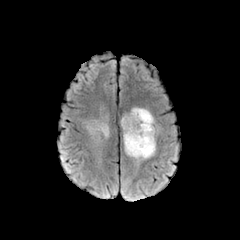
FLAIR MRI.
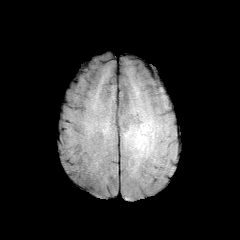
Same slice, T1-weighted MR.
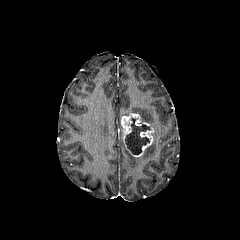
Post-contrast T1-weighted MR of the same slice.
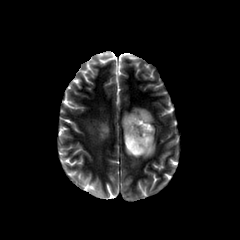
T2-weighted MRI.
Brain.
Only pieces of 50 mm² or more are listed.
<segmentation>
  <peritumoral_edema>x1=98, y1=123, x2=109, y2=136; x1=130, y1=107, x2=155, y2=158</peritumoral_edema>
  <necrotic_tumor_core>x1=125, y1=118, x2=150, y2=154</necrotic_tumor_core>
  <enhancing_tumor>x1=121, y1=113, x2=153, y2=157</enhancing_tumor>
</segmentation>